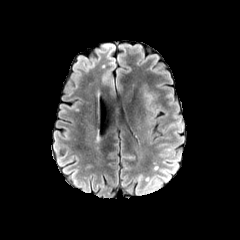
FLAIR MR image.
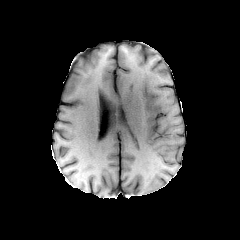
T1-weighted MR image.
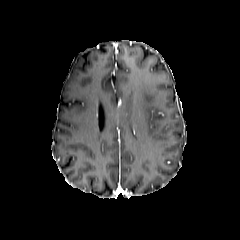
Post-contrast T1-weighted MR image.
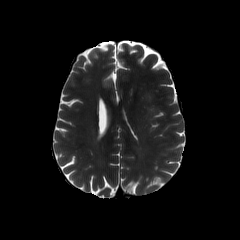
T2-weighted MRI of the same slice.
240x240.
Segmented structures:
• peritumoral edema: left=144, top=93, right=157, bottom=133